Brain, Axial plane
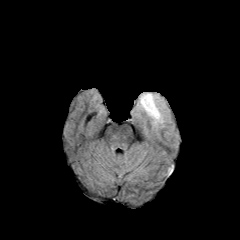
FLAIR magnetic resonance.
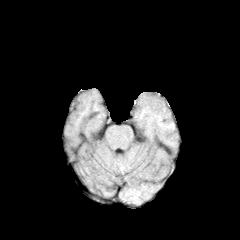
T1-weighted MR of the same slice.
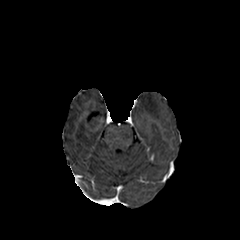
Post-contrast T1-weighted MR image.
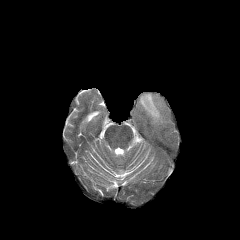
T2-weighted MRI of the same slice.
The peritumoral edema is bounded by (140,93,161,122).